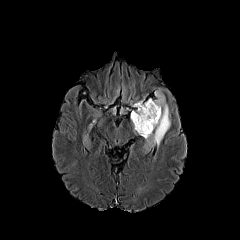
FLAIR magnetic resonance.
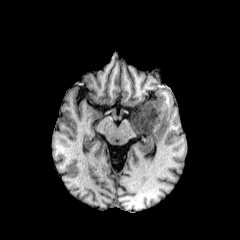
T1-weighted MR image of the same slice.
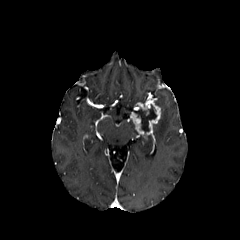
Post-contrast T1-weighted MR image of the same slice.
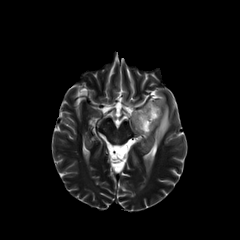
T2-weighted magnetic resonance of the same slice.
240x240
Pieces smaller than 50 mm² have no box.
The necrotic tumor core is located at 132:104:156:132. The largest peritumoral edema region appears at 145:90:170:150. The enhancing tumor appears at 130:98:161:137.